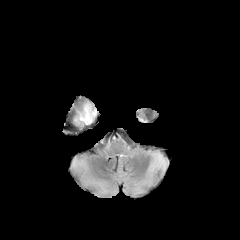
FLAIR MR.
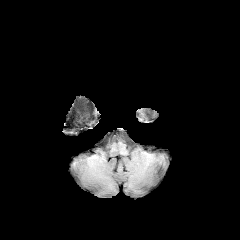
T1-weighted MR image.
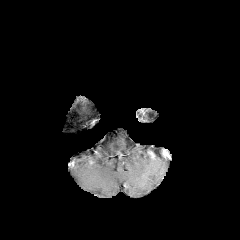
Post-contrast T1-weighted MR image.
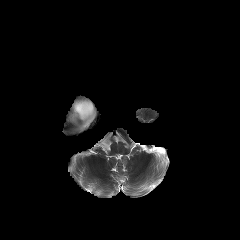
Same slice, T2-weighted MRI.
Axial plane; 240x240 px
The peritumoral edema appears at 74,101,96,124.